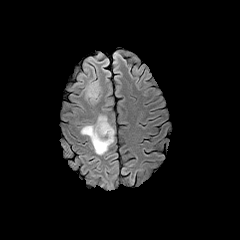
FLAIR MRI.
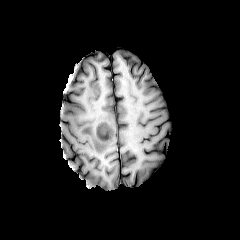
T1-weighted MR image.
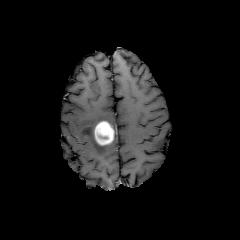
Post-contrast T1-weighted magnetic resonance of the same slice.
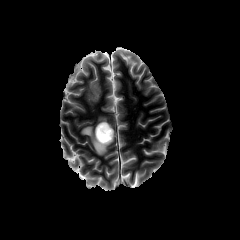
T2-weighted MR image.
The enhancing tumor is bounded by box=[94, 121, 114, 145]. 2 peritumoral edema regions are located at box=[80, 115, 115, 155]; box=[85, 80, 99, 103].